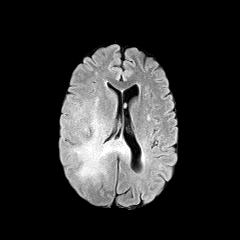
FLAIR MR.
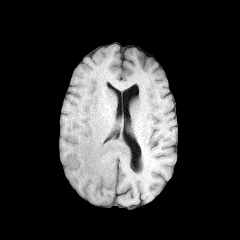
T1-weighted MRI.
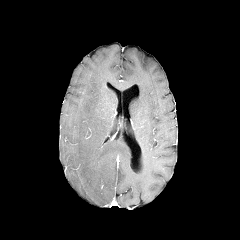
Same slice, post-contrast T1-weighted MRI.
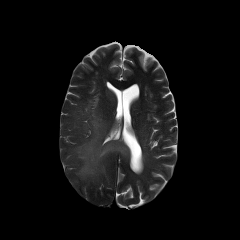
T2-weighted MRI of the same slice.
240x240 px
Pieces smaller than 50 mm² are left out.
peritumoral edema = (x1=71, y1=98, x2=129, y2=181)